Head; Image size 240x240
FLAIR MR.
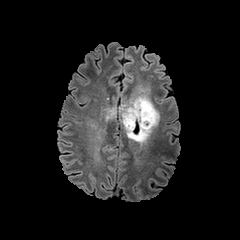
T1-weighted MR image.
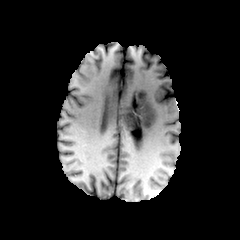
Post-contrast T1-weighted MR.
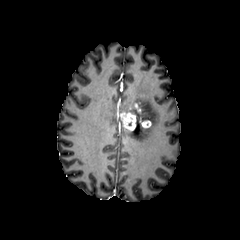
T2-weighted MR.
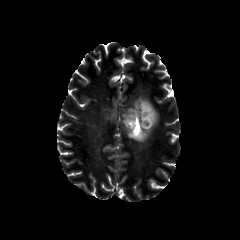
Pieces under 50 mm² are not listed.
2 peritumoral edema regions appear at left=122, top=90, right=158, bottom=140; left=104, top=107, right=116, bottom=122. The 2 largest enhancing tumor regions appear at left=119, top=113, right=135, bottom=129; left=140, top=116, right=150, bottom=127.